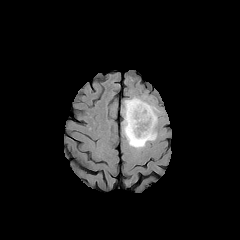
FLAIR magnetic resonance.
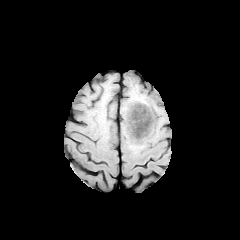
Same slice, T1-weighted magnetic resonance.
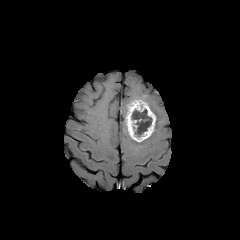
Post-contrast T1-weighted MR.
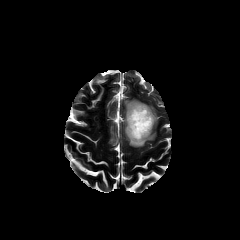
T2-weighted MRI.
Image size 240x240. Head.
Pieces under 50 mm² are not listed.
enhancing tumor = (left=125, top=100, right=156, bottom=142)
necrotic tumor core = (left=135, top=121, right=149, bottom=136)
peritumoral edema = (left=123, top=97, right=158, bottom=148)